Axial slice | Slice 67 of 155 | Head
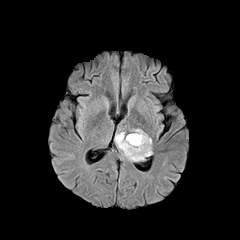
FLAIR MR.
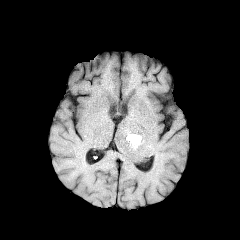
T1-weighted magnetic resonance.
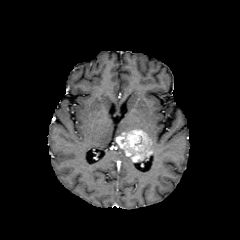
Post-contrast T1-weighted MRI.
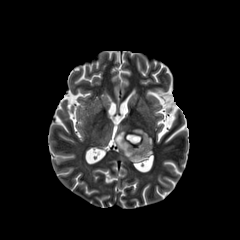
T2-weighted MR of the same slice.
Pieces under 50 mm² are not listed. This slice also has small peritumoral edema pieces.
enhancing_tumor:
  - box=[115, 132, 152, 161]